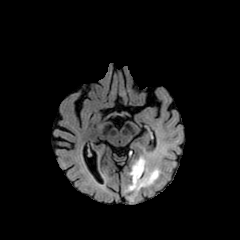
FLAIR magnetic resonance.
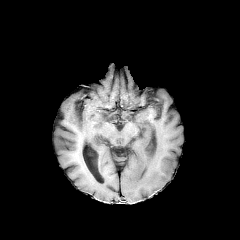
Same slice, T1-weighted MR.
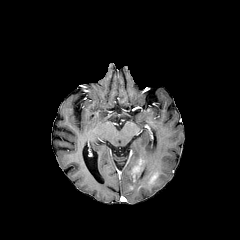
Post-contrast T1-weighted MR image.
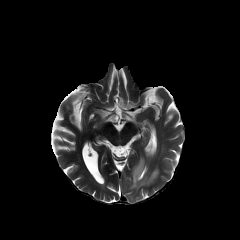
T2-weighted magnetic resonance.
Brain | Axial view
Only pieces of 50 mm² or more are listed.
enhancing tumor: l=133, t=159, r=142, b=179; l=149, t=173, r=157, b=183
peritumoral edema: l=128, t=156, r=160, b=192